FLAIR magnetic resonance.
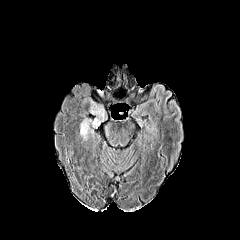
T1-weighted MRI.
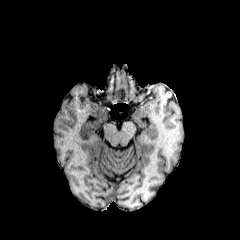
Post-contrast T1-weighted MRI.
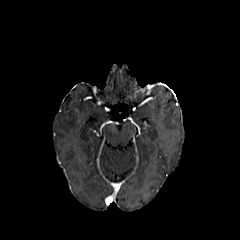
T2-weighted MR image.
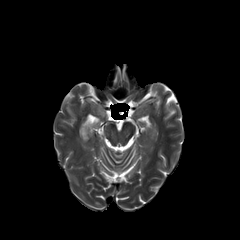
peritumoral edema: box=[80, 104, 104, 139]